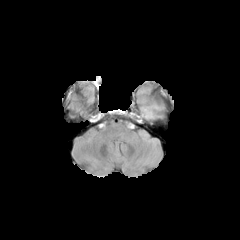
FLAIR MR image.
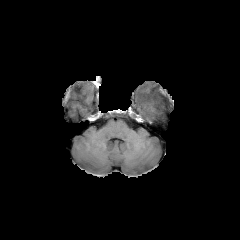
T1-weighted MR image.
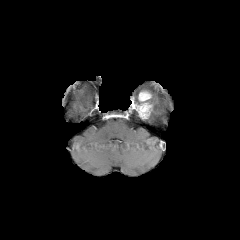
Same slice, post-contrast T1-weighted MR.
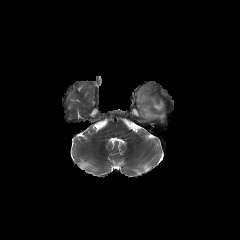
T2-weighted magnetic resonance.
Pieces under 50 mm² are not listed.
The largest peritumoral edema region is at l=147, t=100, r=162, b=119. The enhancing tumor appears at l=134, t=91, r=152, b=118.